FLAIR MR.
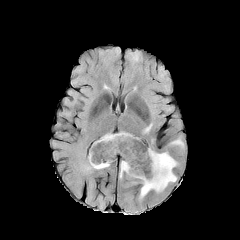
T1-weighted MR.
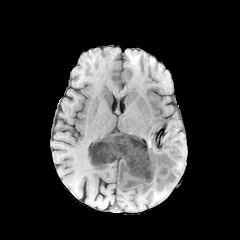
Post-contrast T1-weighted magnetic resonance.
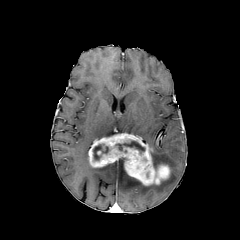
T2-weighted MR.
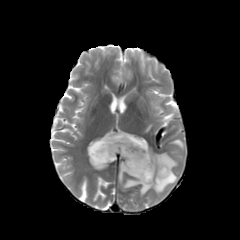
Head
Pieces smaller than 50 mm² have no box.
The 4 largest peritumoral edema regions are bounded by 171 139 182 145, 140 149 177 198, 119 160 141 187, 87 164 109 169. The 2 largest necrotic tumor core regions are located at 116 141 144 151, 93 144 108 160. The enhancing tumor is bounded by 89 133 170 185.